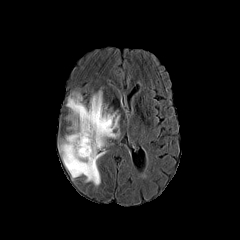
FLAIR magnetic resonance.
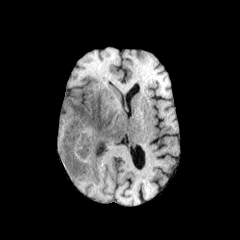
T1-weighted MR image.
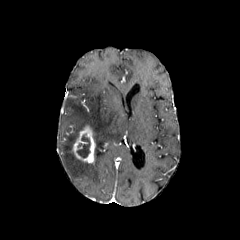
Same slice, post-contrast T1-weighted MRI.
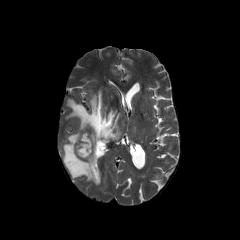
T2-weighted MR image.
Brain, 240x240
necrotic tumor core: bounding box 77 135 90 157
enhancing tumor: bounding box 72 125 95 162
peritumoral edema: bounding box 60 91 119 185